Image size 240x240, Head
FLAIR MRI.
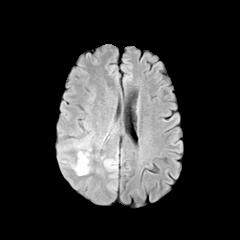
T1-weighted magnetic resonance.
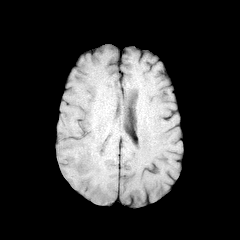
Post-contrast T1-weighted magnetic resonance.
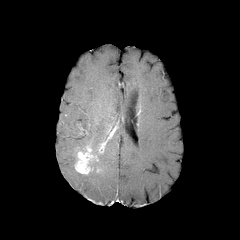
T2-weighted MR.
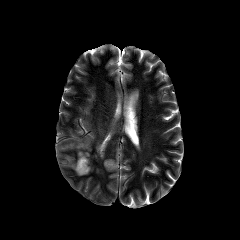
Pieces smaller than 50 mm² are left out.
{"enhancing_tumor": ["(74,146,96,174)"], "peritumoral_edema": ["(104,159,116,170)", "(98,131,111,148)", "(64,133,92,153)", "(69,161,84,175)"]}